Axial view. Brain. Slice index 98. 240x240 px.
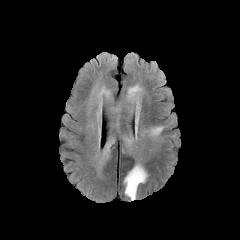
FLAIR magnetic resonance.
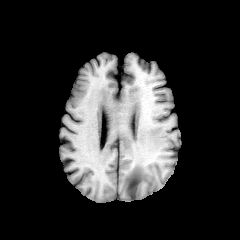
T1-weighted magnetic resonance of the same slice.
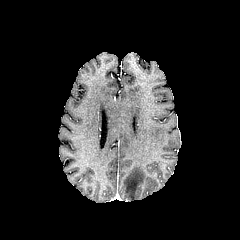
Post-contrast T1-weighted MR.
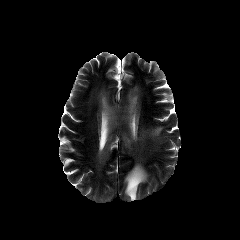
T2-weighted MRI of the same slice.
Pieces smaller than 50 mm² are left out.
peritumoral edema at {"x1": 124, "y1": 163, "x2": 147, "y2": 200}, {"x1": 148, "y1": 126, "x2": 163, "y2": 138}, {"x1": 98, "y1": 89, "x2": 109, "y2": 96}, {"x1": 127, "y1": 85, "x2": 141, "y2": 139}, {"x1": 105, "y1": 139, "x2": 113, "y2": 153}